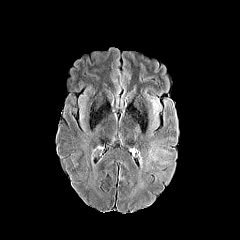
FLAIR MRI.
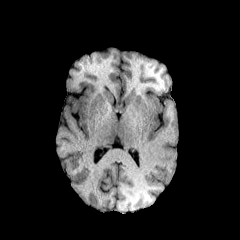
T1-weighted MR.
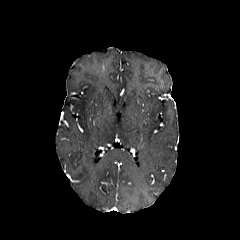
Post-contrast T1-weighted magnetic resonance of the same slice.
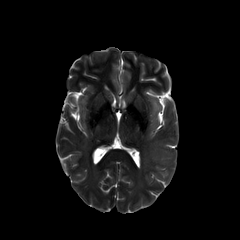
T2-weighted MR image of the same slice.
240x240
Findings:
• peritumoral edema: 146,137,176,164